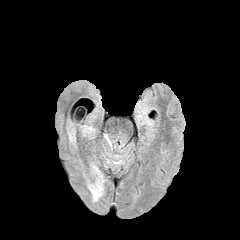
FLAIR MR.
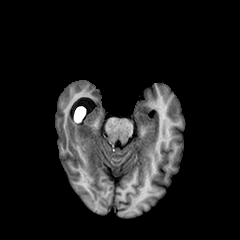
Same slice, T1-weighted MR.
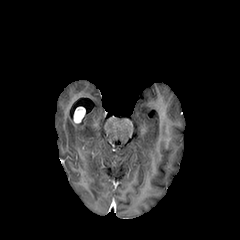
Post-contrast T1-weighted MRI.
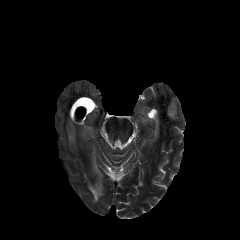
Same slice, T2-weighted magnetic resonance.
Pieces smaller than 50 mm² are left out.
<segmentation>
  <peritumoral_edema>{"x1": 87, "y1": 162, "x2": 104, "y2": 202}, {"x1": 67, "y1": 122, "x2": 76, "y2": 147}, {"x1": 82, "y1": 125, "x2": 95, "y2": 138}</peritumoral_edema>
</segmentation>